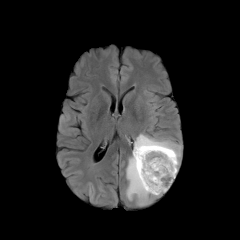
FLAIR MR.
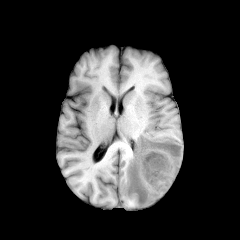
T1-weighted MR image of the same slice.
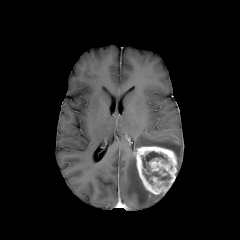
Same slice, post-contrast T1-weighted MRI.
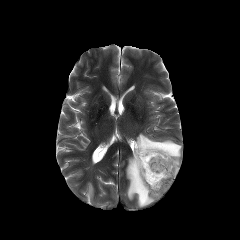
Same slice, T2-weighted MRI.
Head
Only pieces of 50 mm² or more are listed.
The enhancing tumor is bounded by 133,146,177,195. 2 peritumoral edema regions are bounded by 126,152,165,207; 133,133,181,168. The 2 largest necrotic tumor core regions appear at 143,171,160,180; 142,151,166,171.